FLAIR MR image.
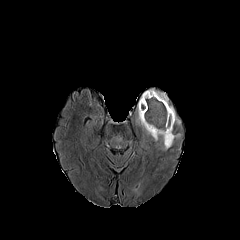
T1-weighted MR image.
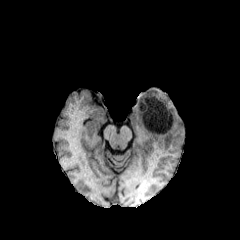
Post-contrast T1-weighted MR.
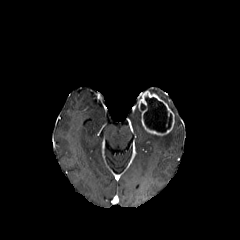
T2-weighted magnetic resonance.
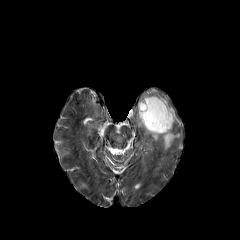
Axial view
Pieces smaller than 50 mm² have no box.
The 3 largest peritumoral edema regions are bounded by (169,106,180,124), (147,131,181,150), (149,89,168,105). The necrotic tumor core appears at (140,96,172,132). The enhancing tumor is bounded by (138,91,174,136).